Axial slice
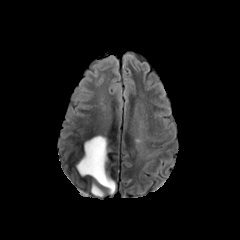
FLAIR MR image.
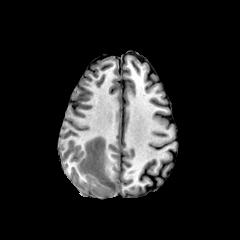
T1-weighted MR.
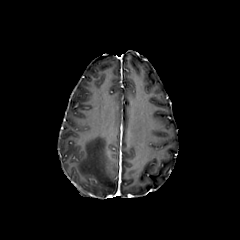
Post-contrast T1-weighted MRI.
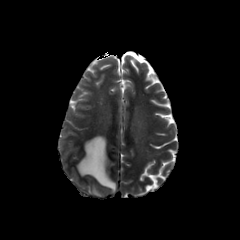
T2-weighted MR image.
peritumoral edema: left=76, top=136, right=116, bottom=193; left=91, top=185, right=104, bottom=196